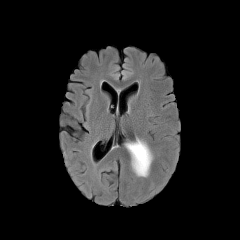
FLAIR MR.
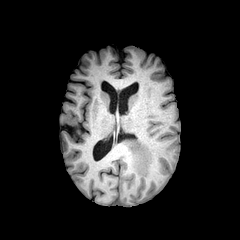
T1-weighted MR.
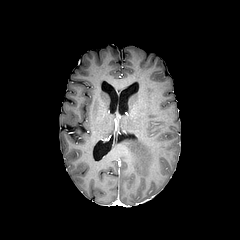
Post-contrast T1-weighted magnetic resonance.
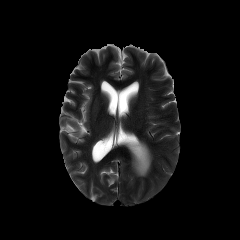
T2-weighted MR image.
Axial plane
The peritumoral edema is bounded by [x1=125, y1=138, x2=152, y2=176].